Head | Axial view | 240x240 px
FLAIR magnetic resonance.
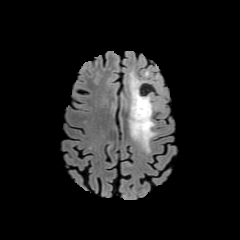
T1-weighted MR.
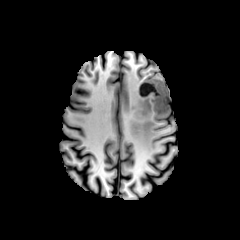
Post-contrast T1-weighted MR image.
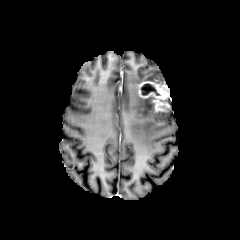
T2-weighted magnetic resonance.
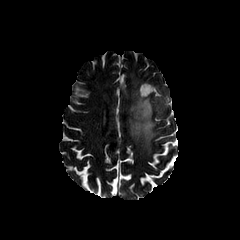
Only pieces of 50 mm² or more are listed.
The enhancing tumor is located at left=138, top=80, right=170, bottom=111. The largest peritumoral edema region is located at left=128, top=71, right=156, bottom=152. The necrotic tumor core lies within left=141, top=84, right=159, bottom=95.